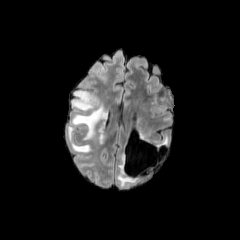
FLAIR MR.
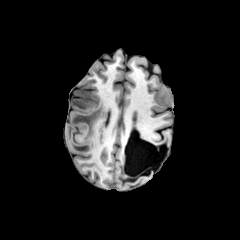
T1-weighted MRI.
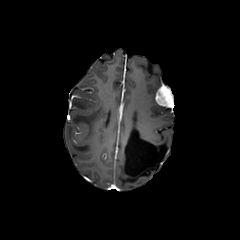
Post-contrast T1-weighted MR image.
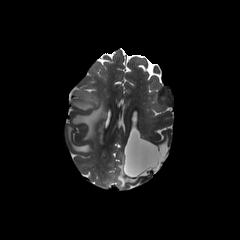
T2-weighted magnetic resonance.
Brain
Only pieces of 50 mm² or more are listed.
peritumoral edema at <box>72,90,106,140</box>, <box>67,125,90,152</box>